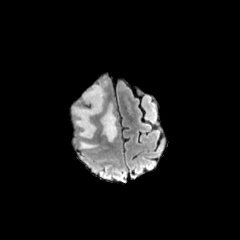
FLAIR MR.
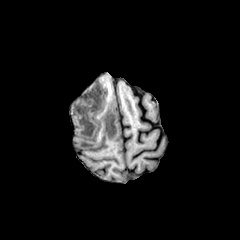
Same slice, T1-weighted MR image.
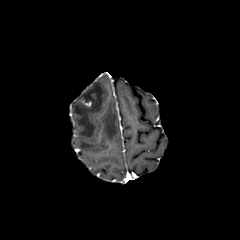
Post-contrast T1-weighted MRI.
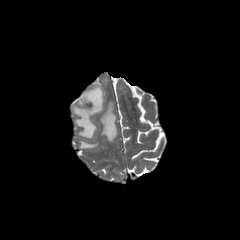
T2-weighted MRI.
Brain, 240x240
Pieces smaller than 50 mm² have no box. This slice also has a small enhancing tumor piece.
3 peritumoral edema regions are bounded by (73, 85, 104, 138), (80, 141, 96, 148), (101, 103, 117, 141).